FLAIR MR.
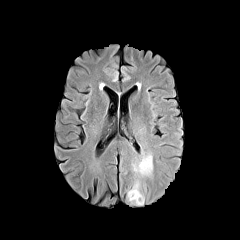
T1-weighted MRI.
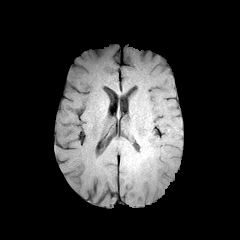
Post-contrast T1-weighted MRI.
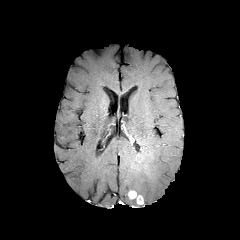
T2-weighted magnetic resonance.
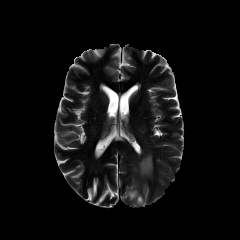
Head
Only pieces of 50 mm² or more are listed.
The enhancing tumor is bounded by (128,191,143,204). The 2 largest peritumoral edema regions are bounded by (127,183,144,204), (138,155,152,175).